Image covers 240 mm x 240 mm. 240x240 px. Slice index 103. Axial view. Brain.
FLAIR MRI.
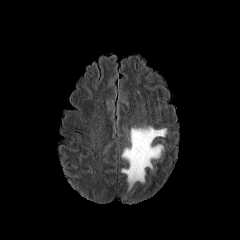
T1-weighted MRI.
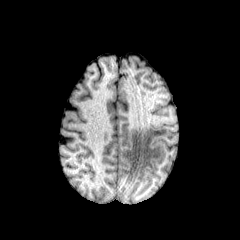
Post-contrast T1-weighted MRI.
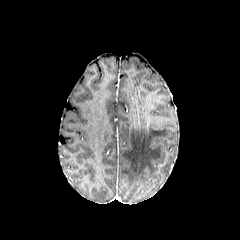
T2-weighted MR.
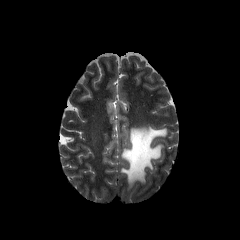
peritumoral edema: box(121, 126, 167, 188)